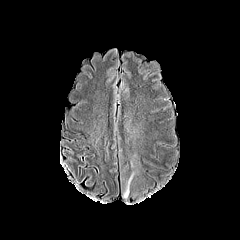
FLAIR MRI.
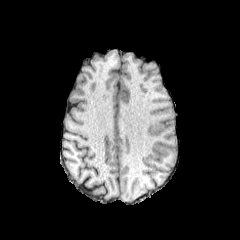
T1-weighted MRI.
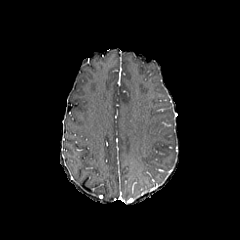
Same slice, post-contrast T1-weighted magnetic resonance.
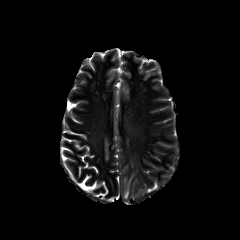
Same slice, T2-weighted MR image.
Image size 240x240
peritumoral edema = (x1=124, y1=177, x2=131, y2=197)